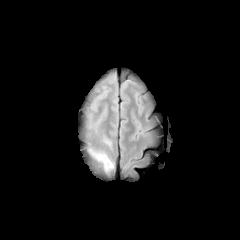
FLAIR MRI.
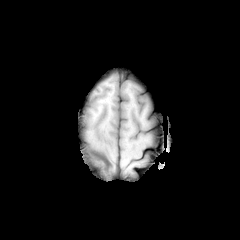
Same slice, T1-weighted MRI.
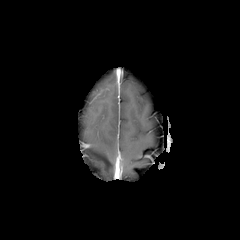
Same slice, post-contrast T1-weighted MR image.
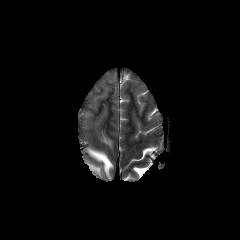
T2-weighted MRI of the same slice.
Head; 240x240
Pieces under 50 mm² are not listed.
peritumoral edema = (89,149,113,172)